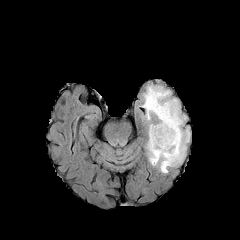
FLAIR magnetic resonance.
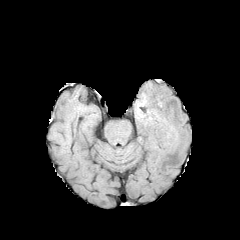
T1-weighted MR image of the same slice.
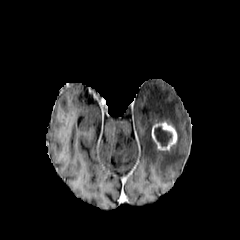
Post-contrast T1-weighted MR image.
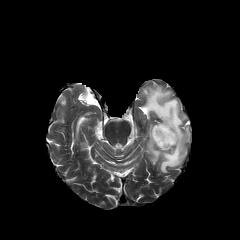
T2-weighted MRI.
Brain. Axial view.
Findings:
* necrotic tumor core: 154,126,171,146
* peritumoral edema: 141,84,190,173
* enhancing tumor: 151,121,177,151